FLAIR MR image.
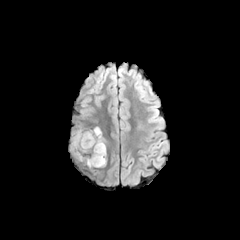
T1-weighted MRI.
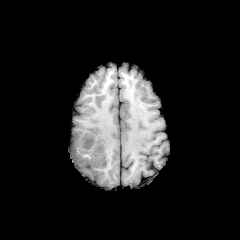
Post-contrast T1-weighted magnetic resonance.
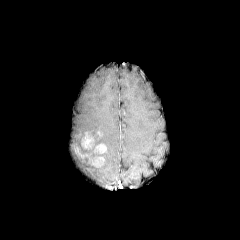
T2-weighted MRI.
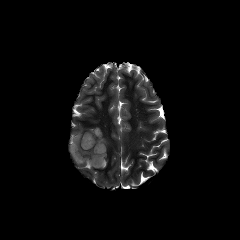
240x240 px; Brain
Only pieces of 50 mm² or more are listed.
The 3 largest enhancing tumor regions appear at l=73, t=144, r=104, b=167; l=81, t=132, r=94, b=149; l=93, t=143, r=106, b=153. 2 peritumoral edema regions are bounded by l=89, t=127, r=104, b=145; l=70, t=132, r=106, b=167.